Brain. Image width 240 mm. Slice 50 of 155.
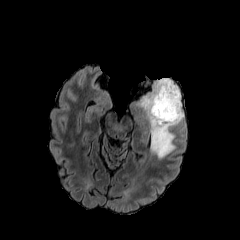
FLAIR MR.
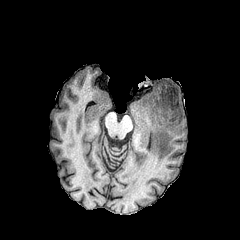
T1-weighted magnetic resonance.
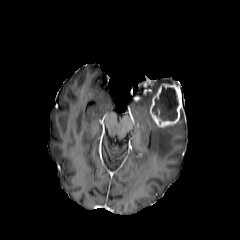
Post-contrast T1-weighted magnetic resonance of the same slice.
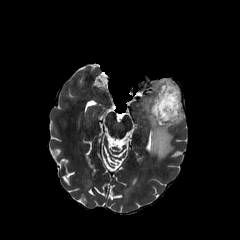
Same slice, T2-weighted MR.
enhancing tumor = {"x1": 150, "y1": 83, "x2": 183, "y2": 127}
necrotic tumor core = {"x1": 152, "y1": 86, "x2": 178, "y2": 120}
peritumoral edema = {"x1": 138, "y1": 78, "x2": 184, "y2": 159}